FLAIR MR image.
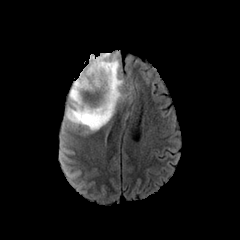
T1-weighted magnetic resonance.
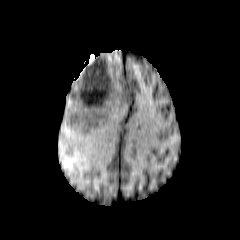
Post-contrast T1-weighted MRI.
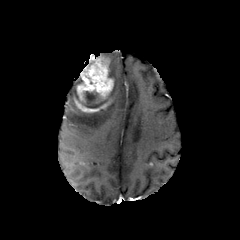
T2-weighted MR.
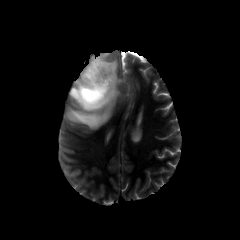
Brain
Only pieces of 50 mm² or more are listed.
necrotic tumor core = left=86, top=92, right=95, bottom=101
enhancing tumor = left=73, top=53, right=113, bottom=113
peritumoral edema = left=66, top=53, right=124, bottom=129